Slice index 47, Image size 240x240
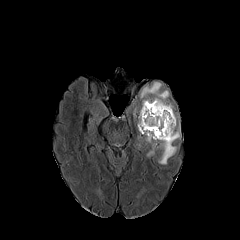
FLAIR MRI.
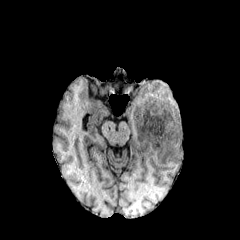
T1-weighted magnetic resonance.
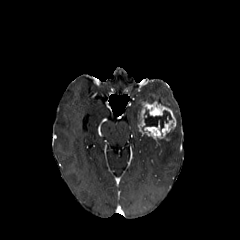
Post-contrast T1-weighted MRI.
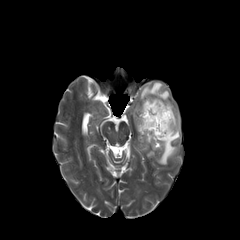
T2-weighted magnetic resonance.
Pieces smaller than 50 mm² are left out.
<segmentation>
  <necrotic_tumor_core>144 110 171 130</necrotic_tumor_core>
  <enhancing_tumor>137 101 176 140</enhancing_tumor>
  <peritumoral_edema>133 82 181 164</peritumoral_edema>
</segmentation>